240x240 px
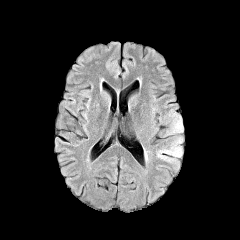
FLAIR MR.
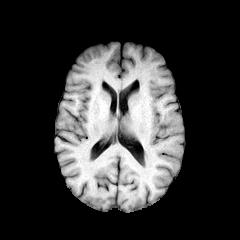
Same slice, T1-weighted MR.
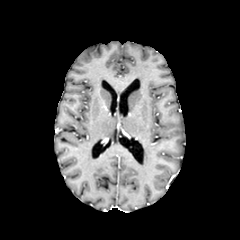
Same slice, post-contrast T1-weighted MR.
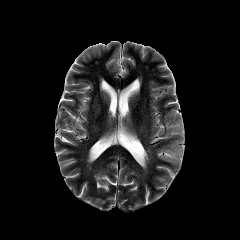
T2-weighted MR of the same slice.
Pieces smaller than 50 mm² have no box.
peritumoral edema: rect(156, 136, 185, 173); rect(160, 108, 184, 136)